FLAIR MR image.
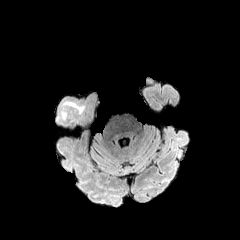
T1-weighted MR image.
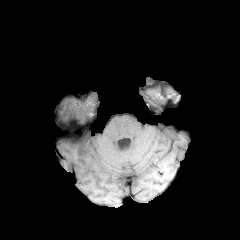
Post-contrast T1-weighted MR image.
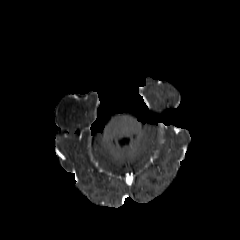
T2-weighted MR.
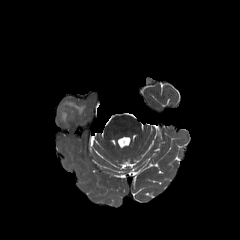
240x240
Annotated regions:
- peritumoral edema: bbox=[60, 109, 66, 120]; bbox=[63, 101, 83, 112]